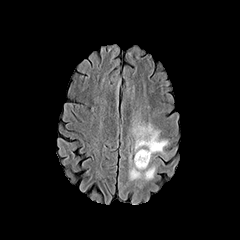
FLAIR MR image.
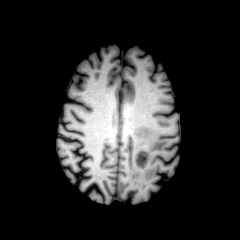
T1-weighted magnetic resonance of the same slice.
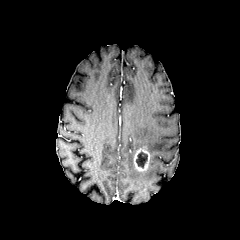
Post-contrast T1-weighted MRI of the same slice.
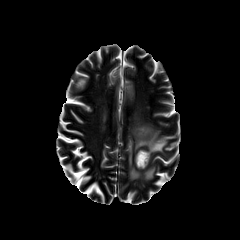
T2-weighted MR of the same slice.
Brain
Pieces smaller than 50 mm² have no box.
peritumoral edema: bounding box x1=128 y1=166 x2=155 y2=180, x1=133 y1=123 x2=169 y2=158
necrotic tumor core: bounding box x1=136 y1=151 x2=147 y2=167
enhancing tumor: bounding box x1=134 y1=149 x2=149 y2=171